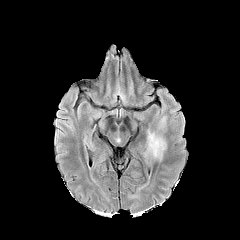
FLAIR magnetic resonance.
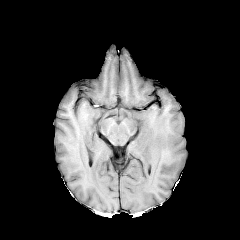
T1-weighted MRI.
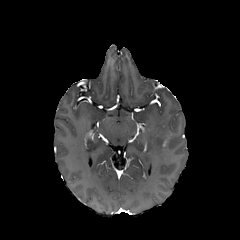
Same slice, post-contrast T1-weighted MRI.
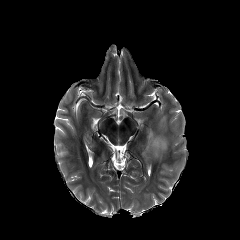
T2-weighted magnetic resonance.
Axial view
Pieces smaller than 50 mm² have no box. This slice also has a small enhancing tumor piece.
peritumoral edema: bounding box rect(145, 130, 166, 159); rect(159, 117, 165, 128)